FLAIR MRI.
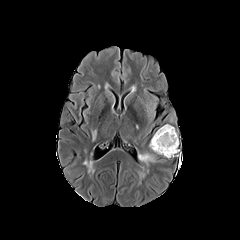
T1-weighted magnetic resonance.
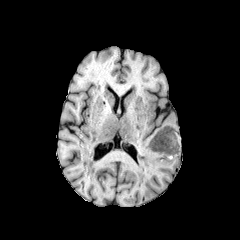
Post-contrast T1-weighted MR image.
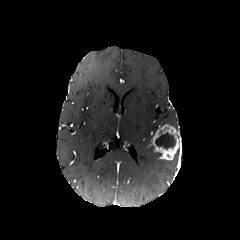
T2-weighted MR.
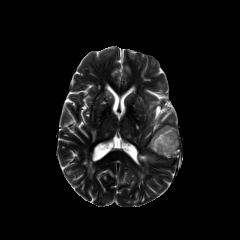
Axial slice, Image size 240x240
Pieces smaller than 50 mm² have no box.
{
  "peritumoral_edema": [
    "[x1=138, y1=153, x2=155, y2=165]"
  ],
  "enhancing_tumor": [
    "[x1=149, y1=124, x2=180, y2=160]"
  ],
  "necrotic_tumor_core": [
    "[x1=155, y1=132, x2=175, y2=148]"
  ]
}